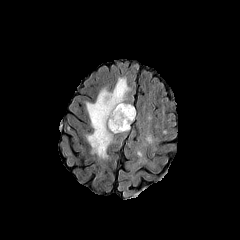
FLAIR MR.
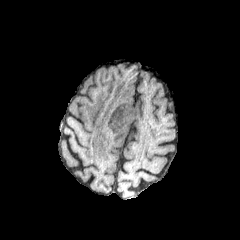
T1-weighted magnetic resonance of the same slice.
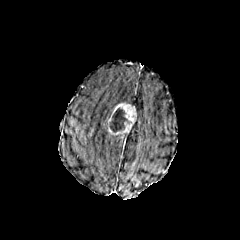
Post-contrast T1-weighted MR.
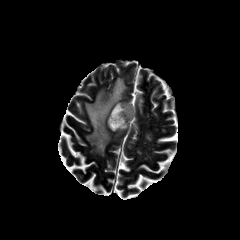
T2-weighted MRI.
Brain
peritumoral edema: left=86, top=78, right=129, bottom=158 | enhancing tumor: left=107, top=103, right=136, bottom=135 | necrotic tumor core: left=110, top=108, right=129, bottom=132